Image width 240 mm; Head; Slice index 103; Image size 240x240
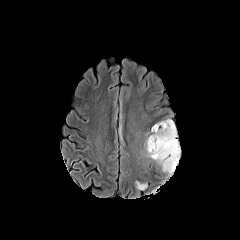
FLAIR magnetic resonance.
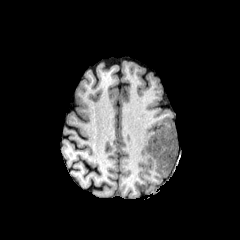
T1-weighted MRI.
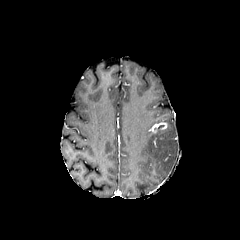
Same slice, post-contrast T1-weighted magnetic resonance.
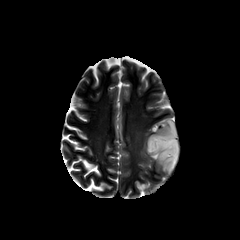
T2-weighted MR image of the same slice.
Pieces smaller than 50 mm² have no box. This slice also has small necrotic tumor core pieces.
peritumoral edema: {"x1": 119, "y1": 124, "x2": 125, "y2": 145}, {"x1": 144, "y1": 119, "x2": 179, "y2": 173}, {"x1": 135, "y1": 181, "x2": 146, "y2": 189}
enhancing tumor: {"x1": 151, "y1": 122, "x2": 167, "y2": 133}